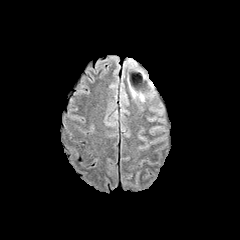
FLAIR MR.
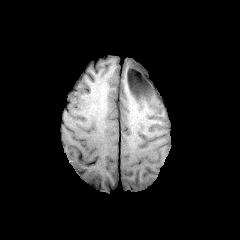
T1-weighted MRI.
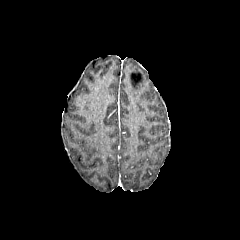
Post-contrast T1-weighted MR.
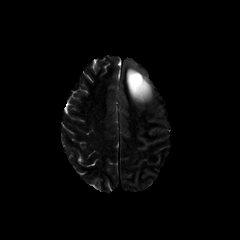
T2-weighted MRI of the same slice.
Axial view | Head
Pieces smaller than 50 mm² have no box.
The enhancing tumor is located at 127 69 149 96. The largest peritumoral edema region is located at 130 82 153 102. The necrotic tumor core lies within 130 72 143 89.